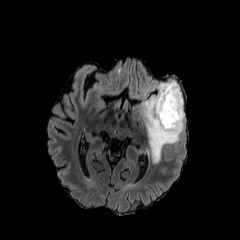
FLAIR MR image.
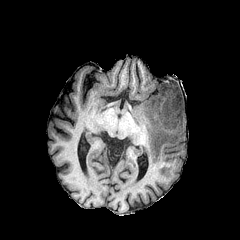
T1-weighted MR image.
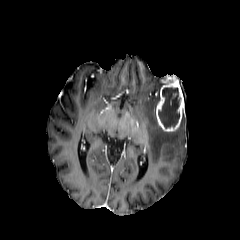
Post-contrast T1-weighted MRI.
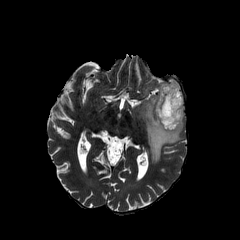
T2-weighted MR image.
Head | Axial slice | Image size 240x240
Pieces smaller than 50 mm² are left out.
Annotated regions:
* peritumoral edema: 141,80,185,163
* necrotic tumor core: 158,87,180,128
* enhancing tumor: 155,80,184,131